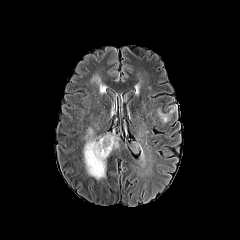
FLAIR MR.
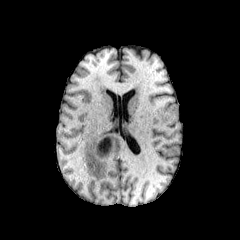
T1-weighted MRI.
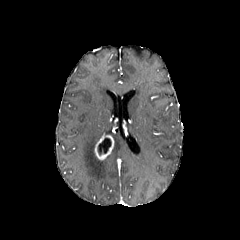
Same slice, post-contrast T1-weighted MR image.
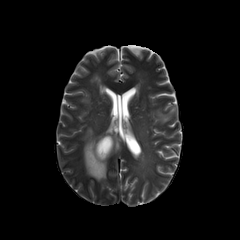
Same slice, T2-weighted MRI.
240x240
necrotic tumor core = (98, 138, 111, 154)
peritumoral edema = (157, 106, 176, 122), (83, 128, 106, 180), (112, 135, 119, 148)
enhancing tumor = (94, 135, 114, 160)